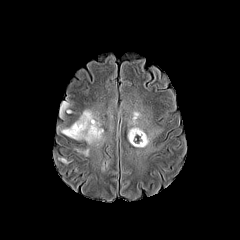
FLAIR MR image.
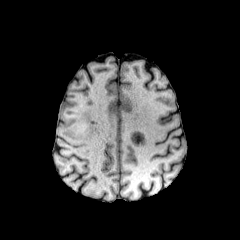
T1-weighted magnetic resonance.
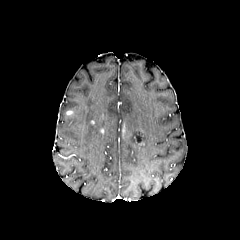
Post-contrast T1-weighted MR image of the same slice.
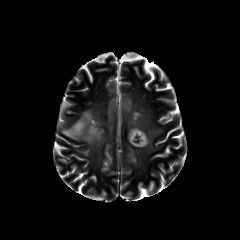
Same slice, T2-weighted MR image.
240x240 px
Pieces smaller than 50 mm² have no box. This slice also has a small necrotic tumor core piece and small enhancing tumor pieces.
peritumoral edema at {"x1": 129, "y1": 111, "x2": 140, "y2": 124}, {"x1": 128, "y1": 126, "x2": 150, "y2": 147}, {"x1": 61, "y1": 110, "x2": 103, "y2": 144}, {"x1": 60, "y1": 102, "x2": 70, "y2": 116}